FLAIR magnetic resonance.
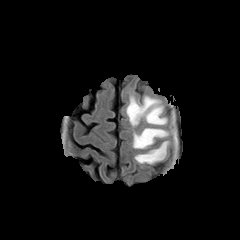
T1-weighted magnetic resonance.
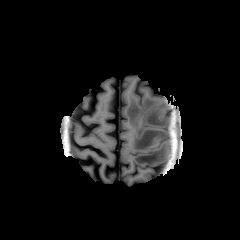
Post-contrast T1-weighted magnetic resonance.
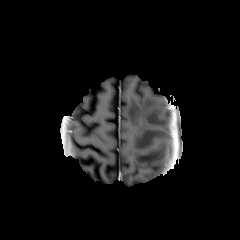
T2-weighted MR image.
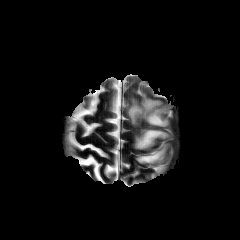
Image size 240x240; Brain; Axial view
peritumoral edema: bounding box {"x1": 133, "y1": 128, "x2": 168, "y2": 149}, {"x1": 126, "y1": 96, "x2": 169, "y2": 126}, {"x1": 135, "y1": 141, "x2": 168, "y2": 164}